Head, Slice 69 of 155, Axial plane, Image width 240 mm
FLAIR MRI.
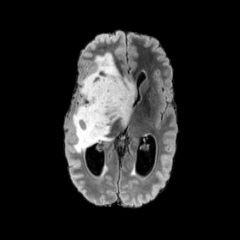
T1-weighted MR image.
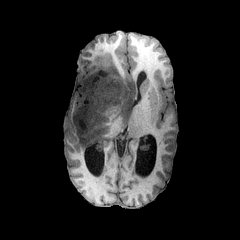
Post-contrast T1-weighted MR image.
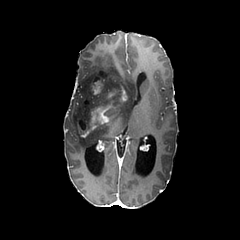
T2-weighted magnetic resonance.
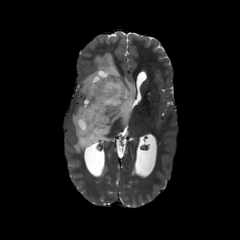
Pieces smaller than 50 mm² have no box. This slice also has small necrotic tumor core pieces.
enhancing tumor: bbox(76, 103, 112, 137); bbox(91, 70, 107, 94); bbox(120, 87, 127, 101) | peritumoral edema: bbox(72, 53, 135, 152)